Slice 74 of 155
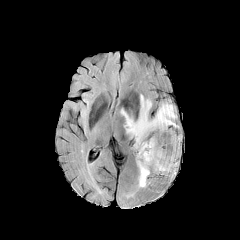
FLAIR MRI.
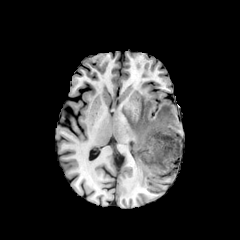
T1-weighted MR image of the same slice.
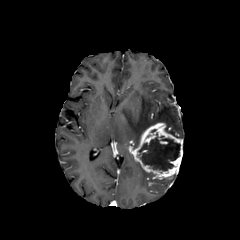
Post-contrast T1-weighted MR.
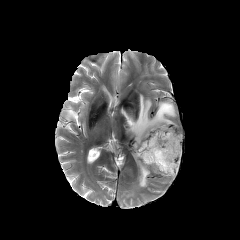
Same slice, T2-weighted MR image.
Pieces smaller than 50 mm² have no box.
The largest enhancing tumor region is at [x1=132, y1=122, x2=182, y2=178]. The largest necrotic tumor core region is located at [x1=139, y1=138, x2=180, y2=170]. 2 peritumoral edema regions are located at [x1=136, y1=162, x2=150, y2=187], [x1=121, y1=95, x2=181, y2=148].